FLAIR MRI.
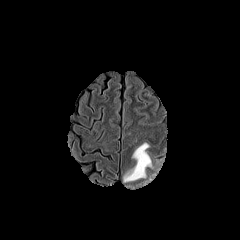
T1-weighted MR image.
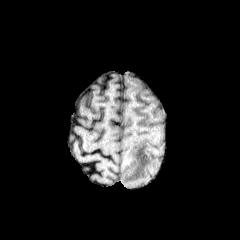
Post-contrast T1-weighted magnetic resonance.
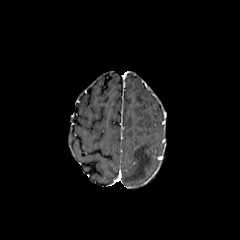
T2-weighted MRI.
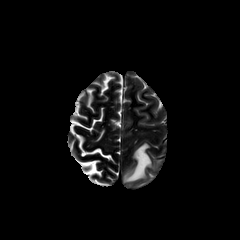
Axial view; Head; 240x240 px
The peritumoral edema lies within x1=123, y1=143, x2=151, y2=182.